FLAIR magnetic resonance.
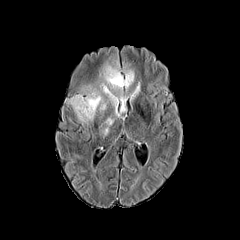
T1-weighted MR.
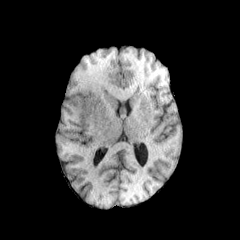
Post-contrast T1-weighted MRI.
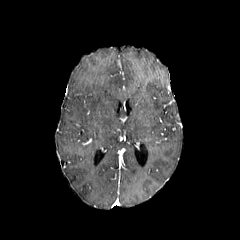
T2-weighted MR.
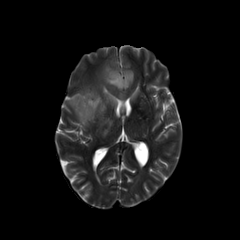
Head | Axial view
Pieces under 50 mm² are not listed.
peritumoral_edema:
  - [71, 92, 102, 120]
  - [102, 84, 126, 106]
  - [130, 82, 139, 99]
  - [104, 66, 133, 89]